FLAIR magnetic resonance.
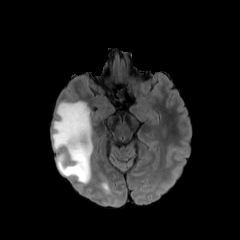
T1-weighted magnetic resonance.
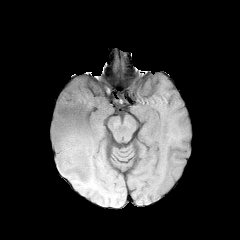
Post-contrast T1-weighted MR.
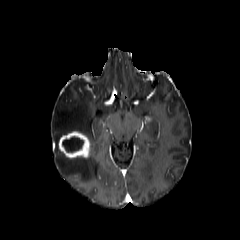
T2-weighted MR image.
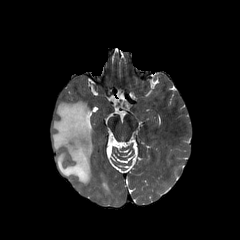
Axial slice. Image size 240x240.
{"enhancing_tumor": ["58 131 91 158"], "peritumoral_edema": ["52 100 93 183"], "necrotic_tumor_core": ["62 137 83 151"]}